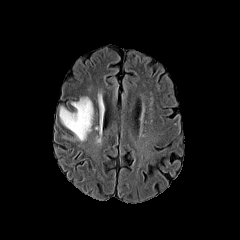
FLAIR magnetic resonance.
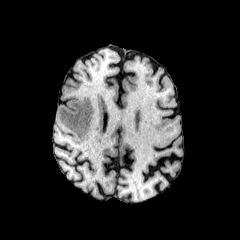
T1-weighted MRI of the same slice.
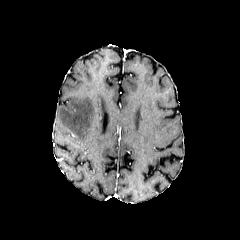
Post-contrast T1-weighted magnetic resonance.
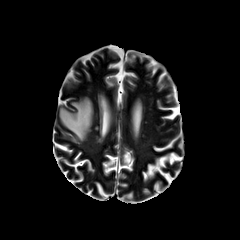
T2-weighted magnetic resonance.
Axial view, Head
peritumoral edema: 59, 97, 93, 141